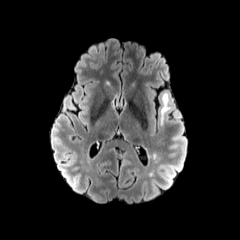
FLAIR magnetic resonance.
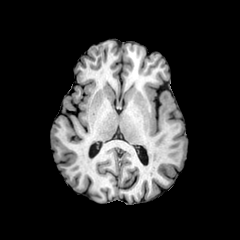
T1-weighted MR.
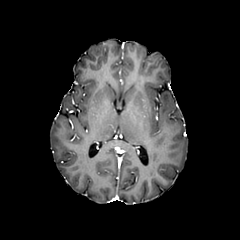
Same slice, post-contrast T1-weighted magnetic resonance.
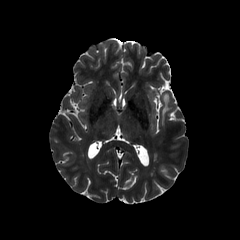
Same slice, T2-weighted MRI.
peritumoral edema = l=161, t=93, r=169, b=125